Image size 240x240, Brain, Slice 61/155
FLAIR MRI.
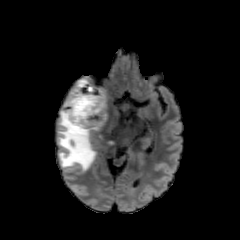
T1-weighted MRI.
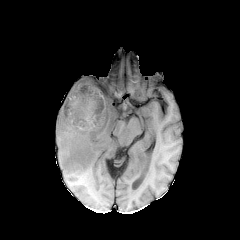
Post-contrast T1-weighted MR.
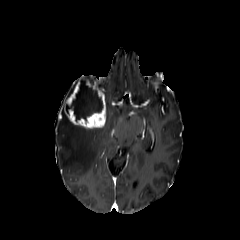
T2-weighted MR image.
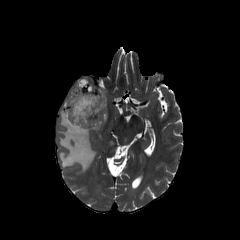
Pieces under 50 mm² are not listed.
The necrotic tumor core lies within <box>66,81,102,120</box>. The largest peritumoral edema region is located at <box>58,90,119,173</box>. The enhancing tumor is located at <box>63,79,106,128</box>.